Head | Image size 240x240 | Image covers 240 mm x 240 mm
FLAIR magnetic resonance.
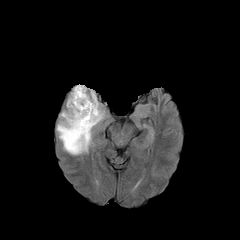
T1-weighted magnetic resonance.
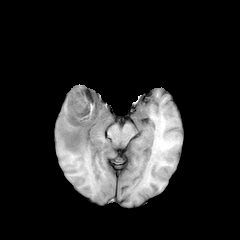
Post-contrast T1-weighted magnetic resonance.
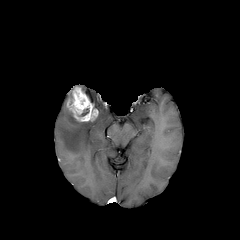
T2-weighted MR.
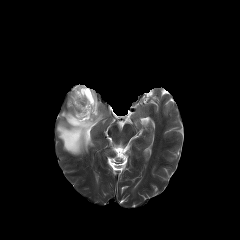
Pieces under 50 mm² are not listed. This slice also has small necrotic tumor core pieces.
{
  "enhancing_tumor": [
    "l=67, t=86, r=98, b=121"
  ],
  "peritumoral_edema": [
    "l=56, t=84, r=105, b=155"
  ]
}